FLAIR MR.
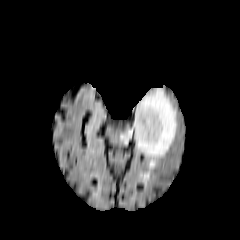
T1-weighted MRI.
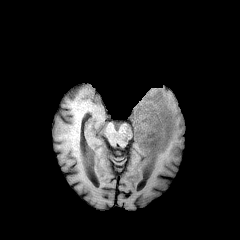
Post-contrast T1-weighted magnetic resonance.
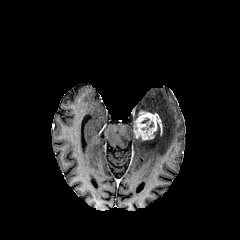
T2-weighted MR image.
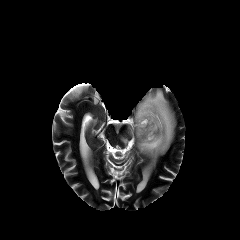
Image size 240x240. Axial plane.
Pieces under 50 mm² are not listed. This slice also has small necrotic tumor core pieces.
The enhancing tumor is at (x1=133, y1=110, x2=162, y2=140). The peritumoral edema lies within (x1=120, y1=88, x2=176, y2=168).